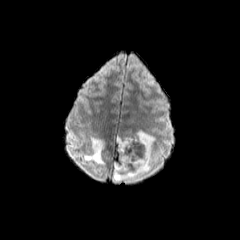
FLAIR MRI.
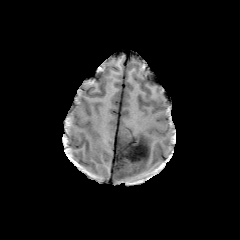
Same slice, T1-weighted MRI.
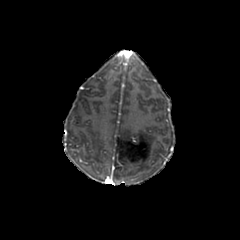
Post-contrast T1-weighted MRI.
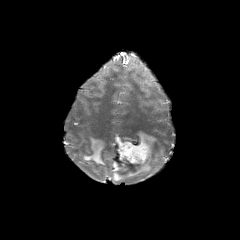
T2-weighted MR of the same slice.
Head; Image size 240x240; Axial plane
2 peritumoral edema regions are located at 112 130 155 181, 83 136 104 164.